Head
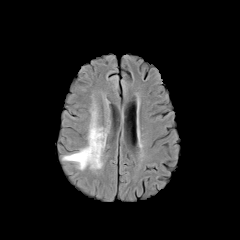
FLAIR MR image.
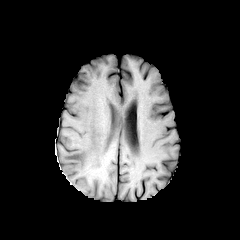
T1-weighted MR of the same slice.
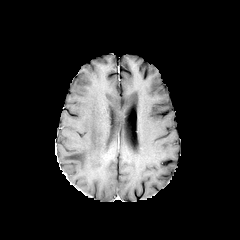
Post-contrast T1-weighted MR of the same slice.
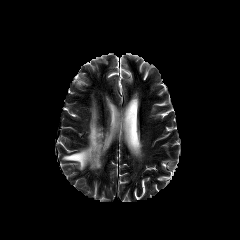
T2-weighted MR image.
peritumoral_edema:
  - <bbox>62, 104, 106, 169</bbox>